FLAIR MR image.
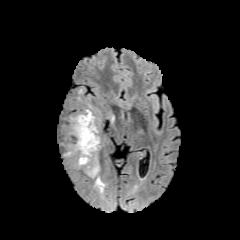
T1-weighted MR image.
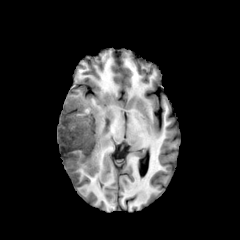
Post-contrast T1-weighted magnetic resonance.
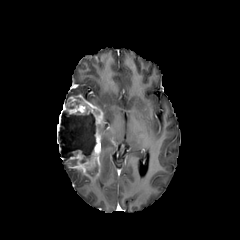
T2-weighted MR image.
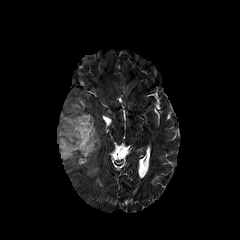
Image size 240x240.
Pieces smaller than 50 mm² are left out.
Segmented structures:
• enhancing tumor: l=57, t=94, r=104, b=179
• peritumoral edema: l=95, t=177, r=104, b=189
• necrotic tumor core: l=58, t=111, r=95, b=163; l=87, t=165, r=97, b=175